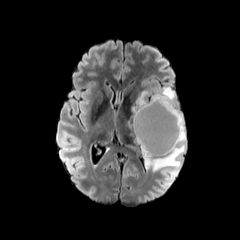
FLAIR MRI.
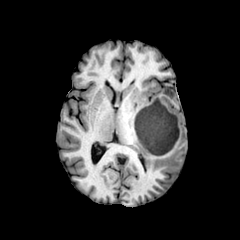
T1-weighted MRI.
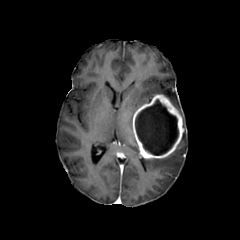
Same slice, post-contrast T1-weighted MRI.
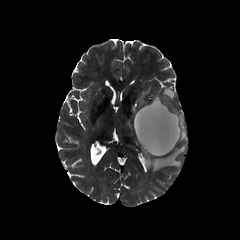
Same slice, T2-weighted magnetic resonance.
Head. 240x240.
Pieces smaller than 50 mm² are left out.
Annotated regions:
* necrotic tumor core: <box>135,99,178,155</box>
* enhancing tumor: <box>132,94,184,159</box>
* peritumoral edema: <box>128,91,150,128</box>, <box>144,87,186,175</box>